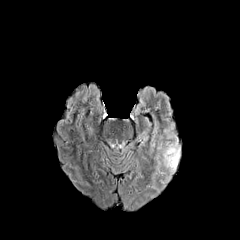
FLAIR magnetic resonance.
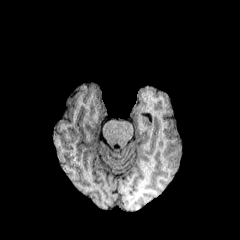
Same slice, T1-weighted MR.
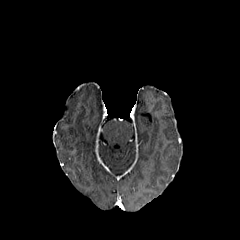
Post-contrast T1-weighted MR.
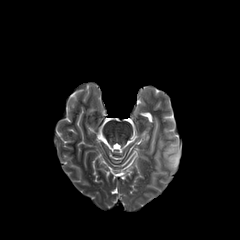
T2-weighted magnetic resonance.
Axial plane
<segmentation>
  <peritumoral_edema>l=158, t=139, r=180, b=172</peritumoral_edema>
</segmentation>